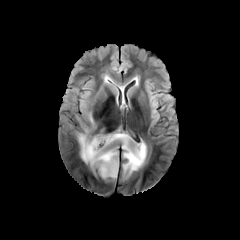
FLAIR MR.
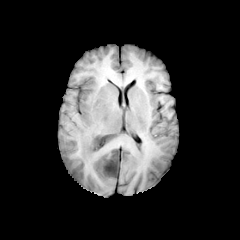
Same slice, T1-weighted MR.
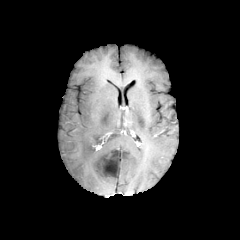
Post-contrast T1-weighted magnetic resonance.
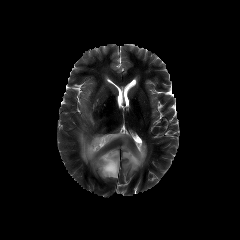
T2-weighted MR image of the same slice.
Head
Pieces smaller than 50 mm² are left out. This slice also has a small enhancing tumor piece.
The largest necrotic tumor core region is bounded by {"x1": 103, "y1": 151, "x2": 118, "y2": 175}. The largest peritumoral edema region is located at {"x1": 78, "y1": 128, "x2": 146, "y2": 179}.